FLAIR MR image.
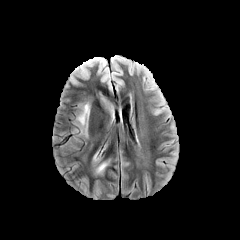
T1-weighted MRI.
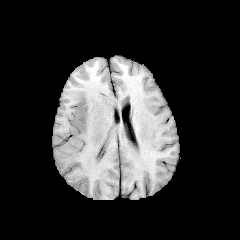
Post-contrast T1-weighted MR image.
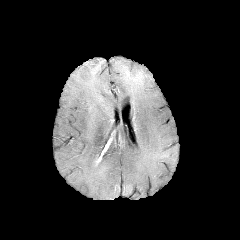
T2-weighted MRI.
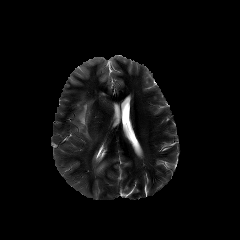
Image size 240x240; Head
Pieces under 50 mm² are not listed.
peritumoral_edema:
  - (75,102,90,137)
  - (96,162,107,173)